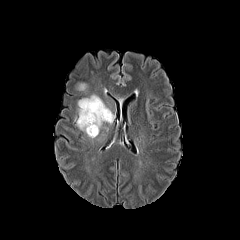
FLAIR magnetic resonance.
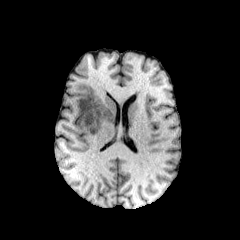
Same slice, T1-weighted MRI.
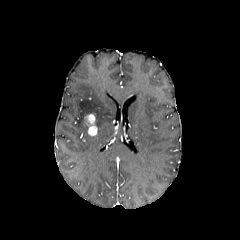
Same slice, post-contrast T1-weighted MR image.
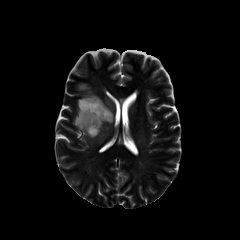
T2-weighted MRI.
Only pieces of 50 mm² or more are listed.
Segmented structures:
- peritumoral edema: 76,94,114,139; 77,83,86,90
- enhancing tumor: 84,114,97,135